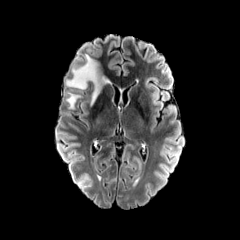
FLAIR magnetic resonance.
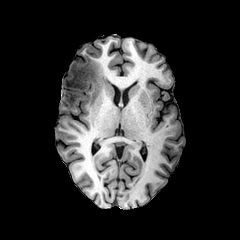
T1-weighted MR.
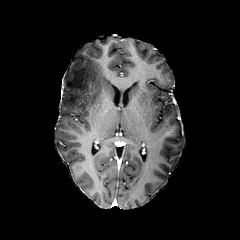
Same slice, post-contrast T1-weighted MR image.
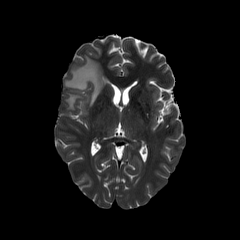
T2-weighted magnetic resonance.
Brain
2 peritumoral edema regions appear at (66,93,80,109), (65,54,104,105).